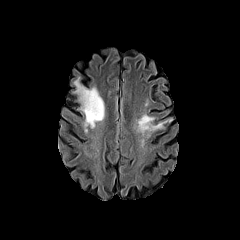
FLAIR MR image.
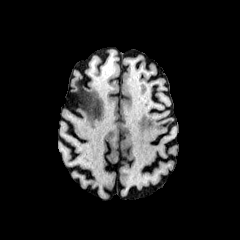
Same slice, T1-weighted MRI.
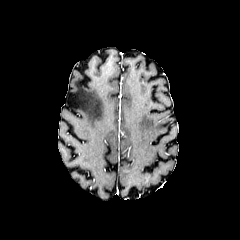
Post-contrast T1-weighted MR of the same slice.
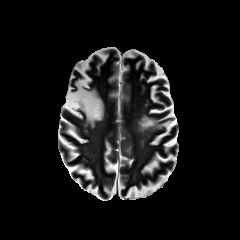
T2-weighted MR image of the same slice.
Axial plane
{"peritumoral_edema": ["l=136, t=114, r=167, b=132", "l=72, t=77, r=104, b=134"]}